FLAIR MRI.
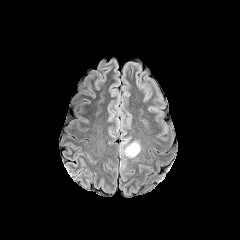
T1-weighted MR.
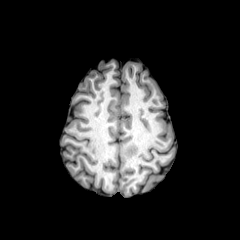
Post-contrast T1-weighted MR.
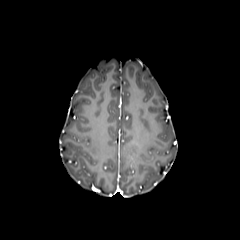
T2-weighted MR image.
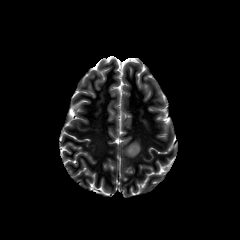
Axial view
Segmented structures:
* peritumoral edema: bbox(120, 137, 141, 172)